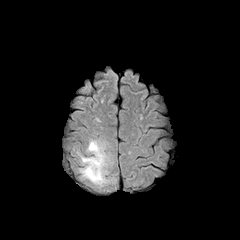
FLAIR magnetic resonance.
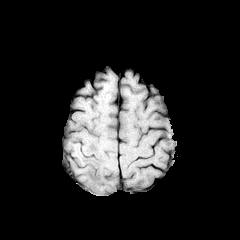
T1-weighted MR of the same slice.
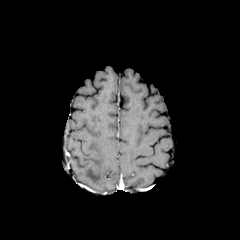
Post-contrast T1-weighted magnetic resonance.
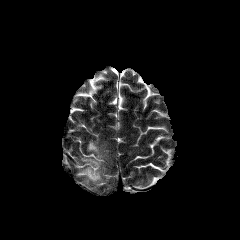
T2-weighted MR of the same slice.
Brain. Image size 240x240.
peritumoral edema at {"x1": 81, "y1": 141, "x2": 107, "y2": 185}